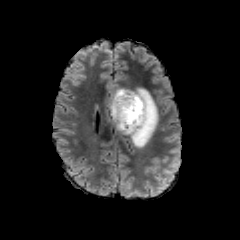
FLAIR MR.
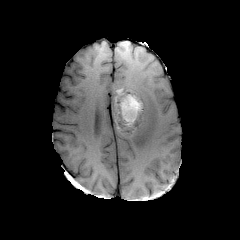
T1-weighted MR of the same slice.
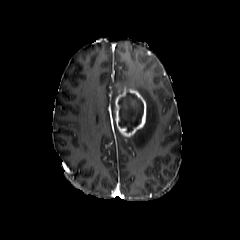
Post-contrast T1-weighted magnetic resonance.
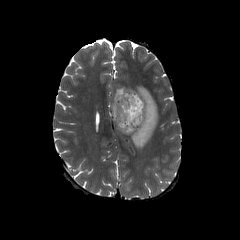
Same slice, T2-weighted MRI.
Axial plane
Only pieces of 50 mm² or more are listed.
- necrotic tumor core: bbox(118, 92, 143, 132)
- peritumoral edema: bbox(111, 88, 129, 121); bbox(130, 87, 158, 148)
- enhancing tumor: bbox(113, 89, 146, 136)